Axial view. Brain.
FLAIR MRI.
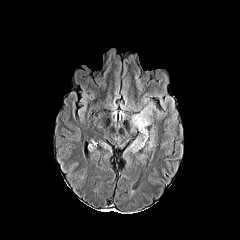
T1-weighted MR.
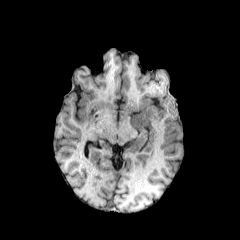
Post-contrast T1-weighted magnetic resonance.
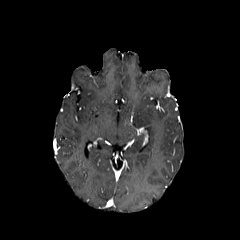
T2-weighted magnetic resonance.
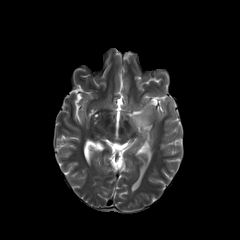
2 peritumoral edema regions are located at 135 138 141 147, 133 105 152 131.